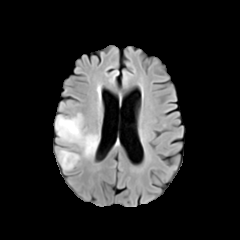
FLAIR MR.
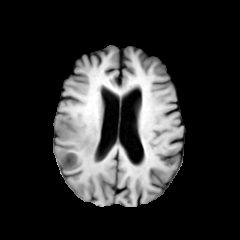
T1-weighted MRI of the same slice.
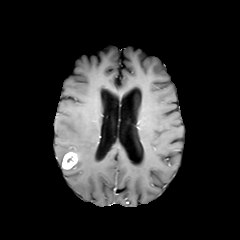
Same slice, post-contrast T1-weighted magnetic resonance.
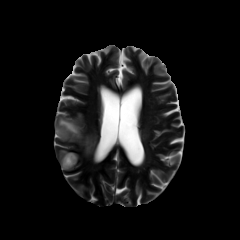
Same slice, T2-weighted magnetic resonance.
Axial view.
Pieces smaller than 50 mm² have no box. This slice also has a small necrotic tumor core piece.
Segmented structures:
* peritumoral edema: left=58, top=150, right=68, bottom=165; left=55, top=114, right=97, bottom=157
* enhancing tumor: left=62, top=152, right=78, bottom=169